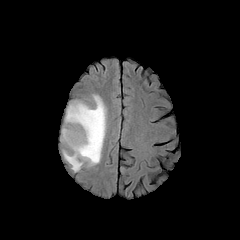
FLAIR magnetic resonance.
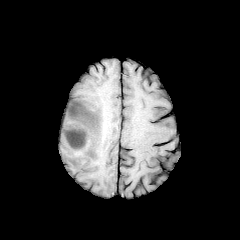
Same slice, T1-weighted MRI.
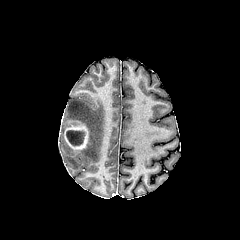
Same slice, post-contrast T1-weighted MRI.
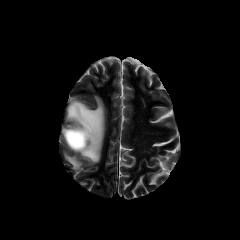
T2-weighted magnetic resonance.
240x240 px. Brain.
necrotic_tumor_core:
  - x1=66 y1=130 x2=84 y2=145
peritumoral_edema:
  - x1=62 y1=96 x2=106 y2=171
enhancing_tumor:
  - x1=63 y1=121 x2=89 y2=150